Axial plane | Slice index 103 | Head | Image width 240 mm | Image size 240x240
FLAIR magnetic resonance.
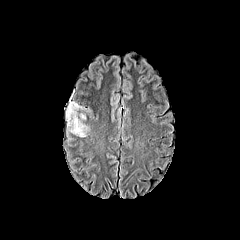
T1-weighted magnetic resonance.
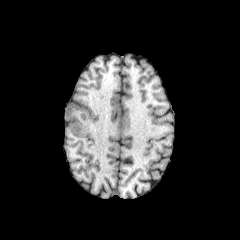
Post-contrast T1-weighted magnetic resonance.
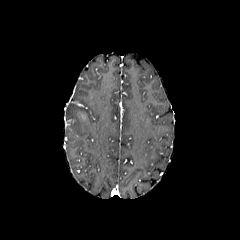
T2-weighted MR image.
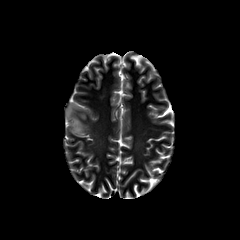
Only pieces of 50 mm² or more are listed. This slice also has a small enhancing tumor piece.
peritumoral edema = 66, 102, 88, 136